FLAIR magnetic resonance.
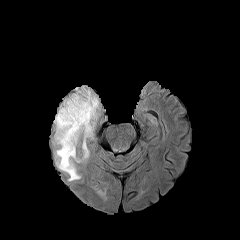
T1-weighted MR.
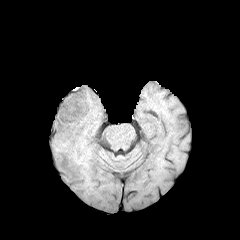
Post-contrast T1-weighted MR image.
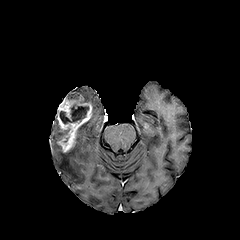
T2-weighted MRI.
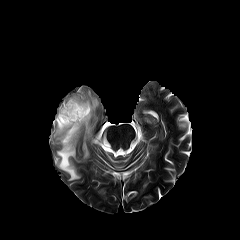
Axial view. Brain.
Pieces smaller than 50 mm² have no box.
The largest necrotic tumor core region is located at bbox=[60, 104, 88, 123]. 2 peritumoral edema regions appear at bbox=[55, 88, 99, 180]; bbox=[53, 116, 68, 145]. The enhancing tumor is bounded by bbox=[56, 95, 92, 152].